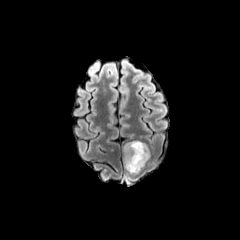
FLAIR MR image.
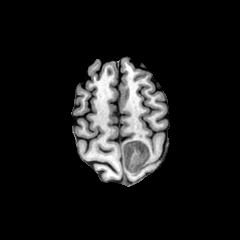
T1-weighted MR.
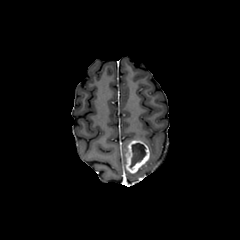
Same slice, post-contrast T1-weighted MR.
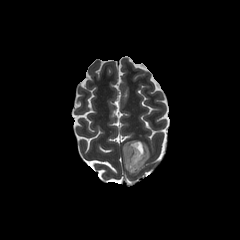
T2-weighted MRI.
Image size 240x240, Axial slice
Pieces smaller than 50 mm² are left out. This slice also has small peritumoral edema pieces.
enhancing tumor — 124, 140, 149, 173
necrotic tumor core — 130, 143, 146, 167